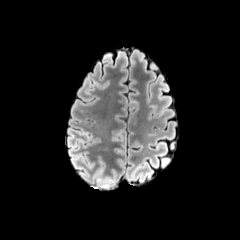
FLAIR magnetic resonance.
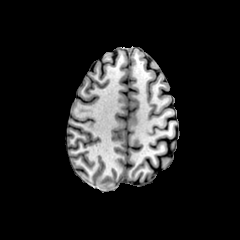
Same slice, T1-weighted MRI.
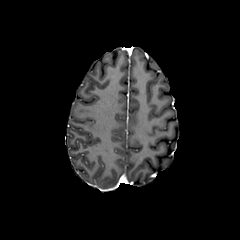
Post-contrast T1-weighted MR of the same slice.
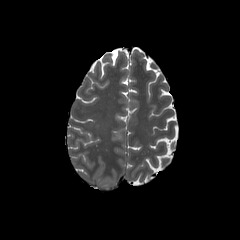
Same slice, T2-weighted MRI.
Brain. 240x240 px.
The peritumoral edema is at box=[96, 177, 114, 188].